Axial view | Head
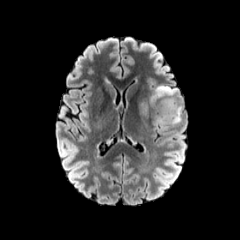
FLAIR MRI.
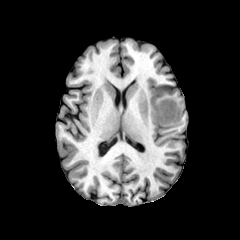
T1-weighted MR of the same slice.
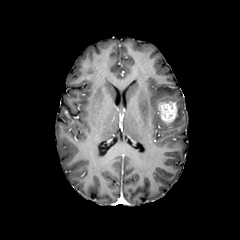
Same slice, post-contrast T1-weighted MR image.
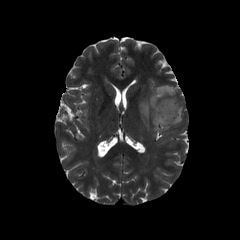
T2-weighted MR.
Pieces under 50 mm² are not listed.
{
  "peritumoral_edema": [
    "bbox(141, 103, 147, 114)",
    "bbox(150, 86, 177, 104)",
    "bbox(154, 102, 182, 130)"
  ],
  "enhancing_tumor": [
    "bbox(157, 101, 177, 124)"
  ]
}